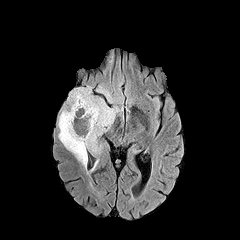
FLAIR MR.
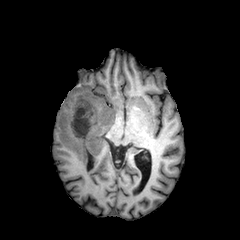
T1-weighted magnetic resonance.
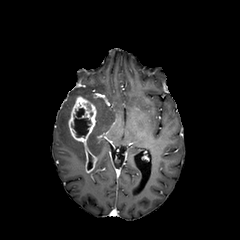
Post-contrast T1-weighted magnetic resonance of the same slice.
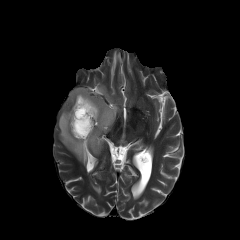
Same slice, T2-weighted magnetic resonance.
Brain, Image size 240x240
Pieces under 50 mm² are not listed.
enhancing tumor: 68,96,96,172 | peritumoral edema: 96,86,113,103; 58,86,118,166 | necrotic tumor core: 71,108,90,137